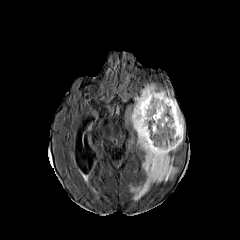
FLAIR MR.
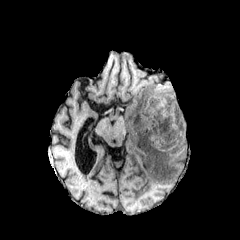
T1-weighted magnetic resonance.
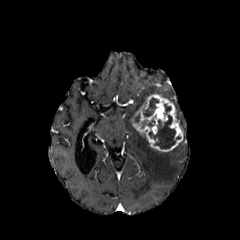
Post-contrast T1-weighted MRI of the same slice.
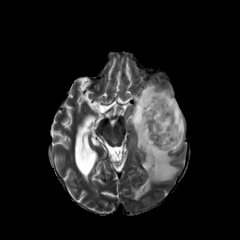
T2-weighted MRI of the same slice.
Image size 240x240 | Axial plane
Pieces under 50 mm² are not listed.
The 2 largest peritumoral edema regions appear at 126 84 184 130, 129 131 178 200. The enhancing tumor is located at 130 94 183 152. The 4 largest necrotic tumor core regions appear at 142 119 154 128, 143 97 158 116, 149 115 175 149, 164 104 171 114.